Axial slice, Brain, Slice 136/155
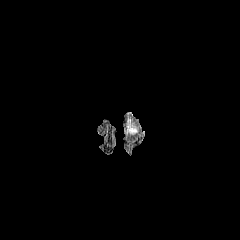
FLAIR MR.
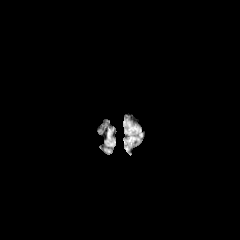
Same slice, T1-weighted MRI.
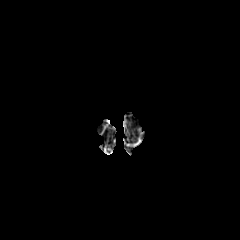
Same slice, post-contrast T1-weighted MR image.
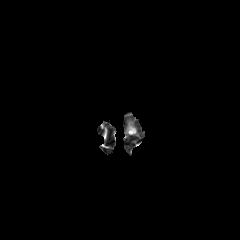
Same slice, T2-weighted MRI.
peritumoral edema — [128, 124, 136, 133]